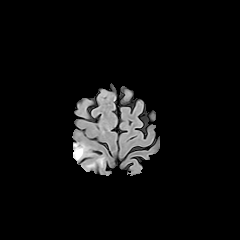
FLAIR MR.
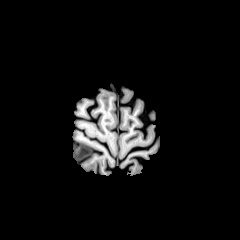
T1-weighted MRI.
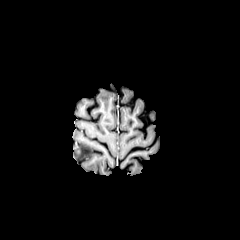
Same slice, post-contrast T1-weighted MR image.
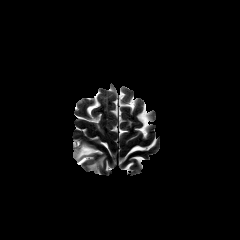
T2-weighted MR.
Brain | Axial slice | 240x240 px
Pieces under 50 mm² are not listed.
The largest peritumoral edema region appears at 73, 144, 90, 159.